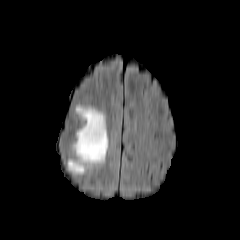
FLAIR MR image.
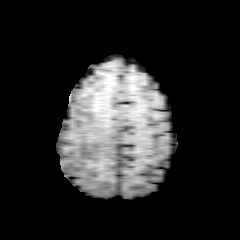
Same slice, T1-weighted MR.
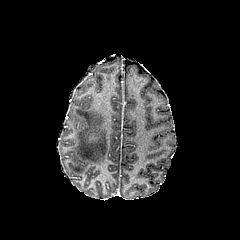
Post-contrast T1-weighted magnetic resonance.
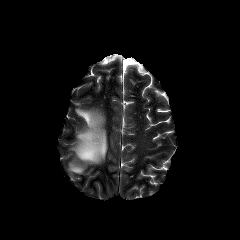
Same slice, T2-weighted MR image.
240x240
peritumoral edema: rect(68, 107, 107, 173)